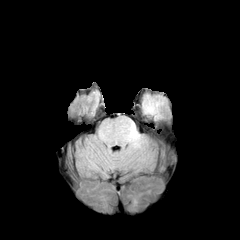
FLAIR MR.
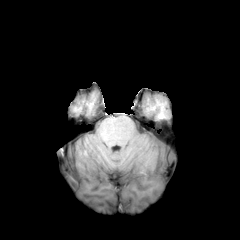
T1-weighted MR image of the same slice.
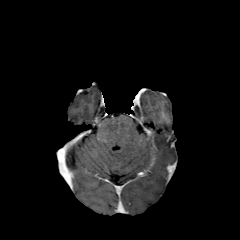
Post-contrast T1-weighted MR image.
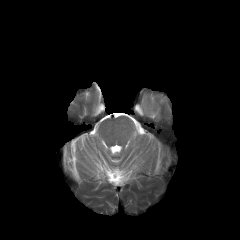
T2-weighted MR image of the same slice.
Axial slice | 240x240 | Head
peritumoral edema: <box>143,101,159,114</box>